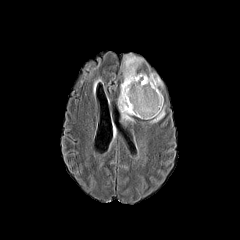
FLAIR MR.
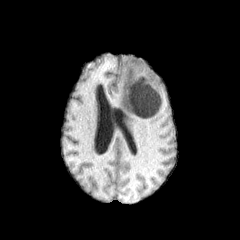
T1-weighted MR image of the same slice.
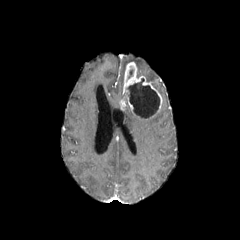
Same slice, post-contrast T1-weighted magnetic resonance.
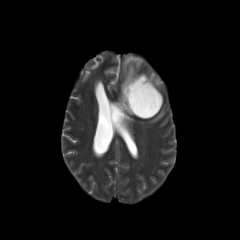
T2-weighted MR image.
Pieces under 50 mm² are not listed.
necrotic tumor core at rect(127, 78, 159, 118)
enhancing tumor at rect(120, 62, 162, 118)
peritumoral edema at rect(150, 108, 164, 123); rect(137, 73, 161, 89); rect(121, 108, 133, 121); rect(118, 82, 123, 108); rect(122, 55, 142, 73)